240x240 | Brain | Image covers 240 mm x 240 mm
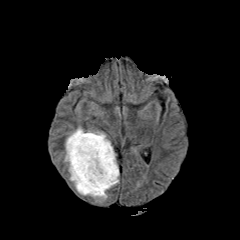
FLAIR MRI.
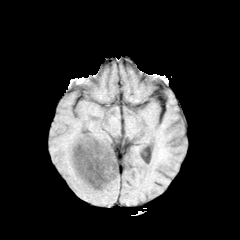
T1-weighted MR.
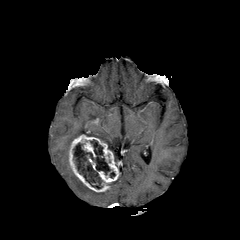
Post-contrast T1-weighted MRI.
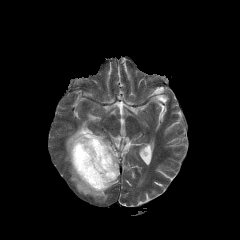
Same slice, T2-weighted MRI.
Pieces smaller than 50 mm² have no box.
The largest enhancing tumor region is at <bbox>69, 134, 119, 192</bbox>. The 2 largest peritumoral edema regions appear at <bbox>64, 126, 115, 162</bbox>, <bbox>68, 164, 107, 201</bbox>. The largest necrotic tumor core region appears at <bbox>73, 139, 110, 188</bbox>.